Brain
FLAIR MRI.
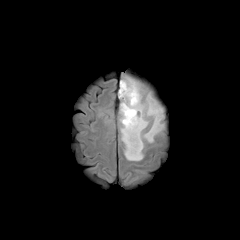
T1-weighted MR.
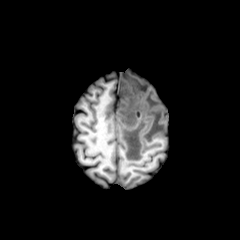
Post-contrast T1-weighted magnetic resonance.
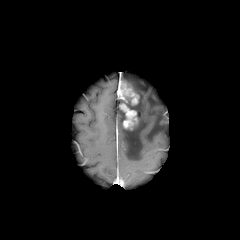
T2-weighted MR.
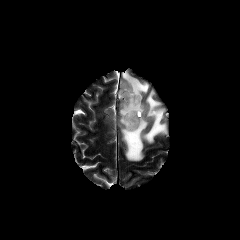
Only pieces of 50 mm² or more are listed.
{
  "enhancing_tumor": [
    "118,81,138,129"
  ],
  "peritumoral_edema": [
    "119,75,164,160"
  ]
}